FLAIR MR image.
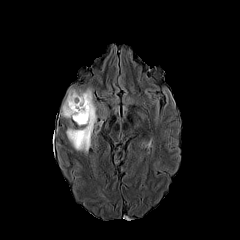
T1-weighted MRI.
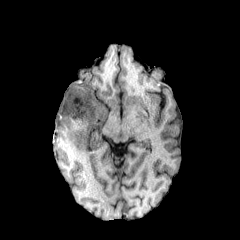
Post-contrast T1-weighted MR.
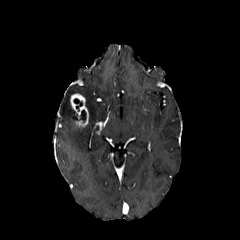
T2-weighted MR.
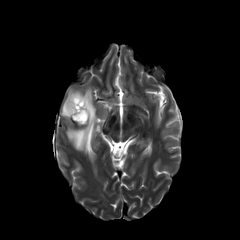
Brain; Axial view
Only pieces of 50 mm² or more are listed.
* peritumoral edema: 61, 85, 97, 153
* necrotic tumor core: 80, 110, 86, 122; 73, 98, 82, 111
* enhancing tumor: 70, 93, 88, 126